FLAIR MRI.
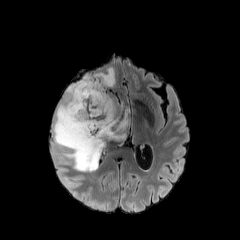
T1-weighted magnetic resonance.
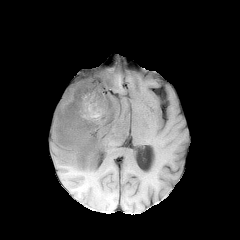
Post-contrast T1-weighted MR image.
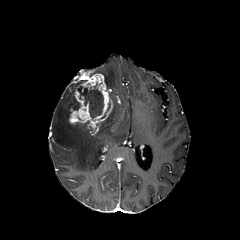
T2-weighted MR.
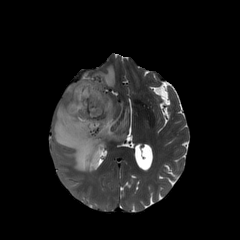
Axial plane.
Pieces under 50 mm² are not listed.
necrotic tumor core: bounding box (77, 84, 103, 118)
enhancing tumor: bounding box (68, 73, 113, 134)
peritumoral edema: bounding box (53, 83, 128, 171), (95, 67, 115, 89)